FLAIR MRI.
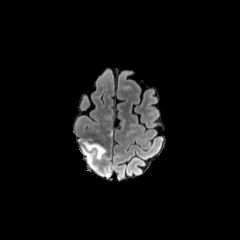
T1-weighted magnetic resonance.
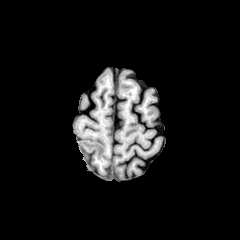
Post-contrast T1-weighted MR image.
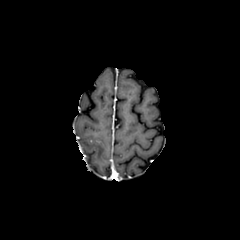
T2-weighted MR.
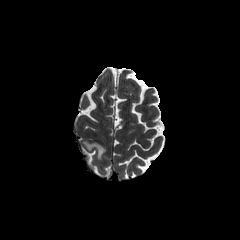
Brain
Findings:
- peritumoral edema: bbox=[85, 142, 105, 159]